FLAIR MR.
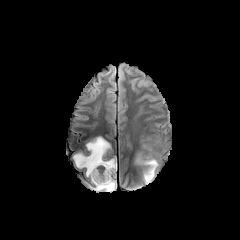
T1-weighted magnetic resonance.
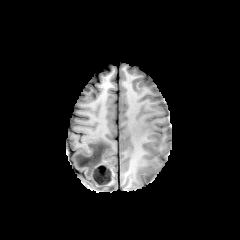
Post-contrast T1-weighted MR image.
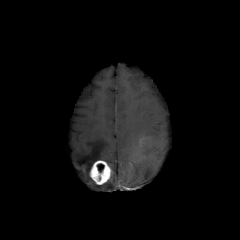
T2-weighted magnetic resonance.
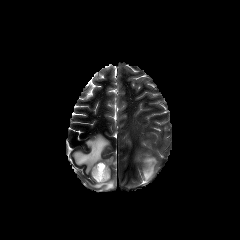
Axial view; Head
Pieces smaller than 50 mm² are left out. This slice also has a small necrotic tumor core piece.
enhancing tumor = x1=90, y1=160, x2=111, y2=184
peritumoral edema = x1=136, y1=155, x2=158, y2=183; x1=73, y1=136, x2=116, y2=191